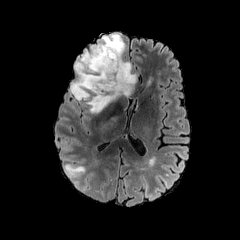
FLAIR magnetic resonance.
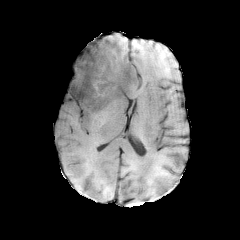
T1-weighted magnetic resonance.
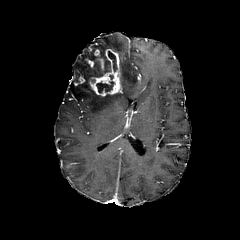
Post-contrast T1-weighted MRI.
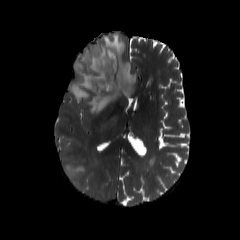
T2-weighted MR image of the same slice.
Image size 240x240 | Axial view | Head
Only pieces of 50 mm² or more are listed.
The 3 largest necrotic tumor core regions appear at 84,58,110,86; 96,81,114,92; 108,51,117,71. 3 peritumoral edema regions appear at 70,34,136,113; 74,48,92,75; 66,164,84,172. The enhancing tumor lies within 74,47,122,96.